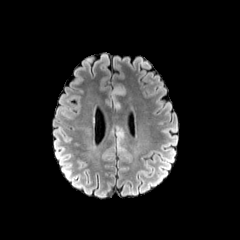
FLAIR MR image.
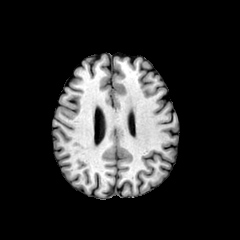
T1-weighted MR of the same slice.
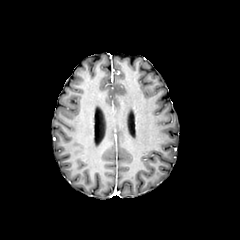
Same slice, post-contrast T1-weighted MR image.
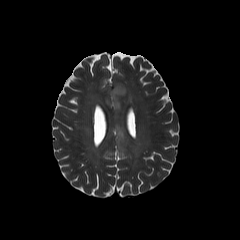
T2-weighted MR of the same slice.
240x240, Head
The peritumoral edema lies within (110,86,125,110).